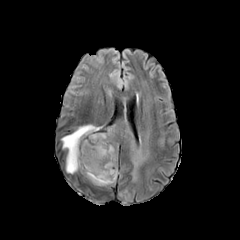
FLAIR magnetic resonance.
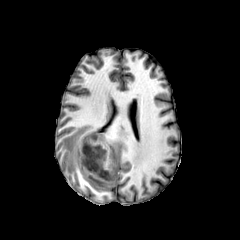
Same slice, T1-weighted MR.
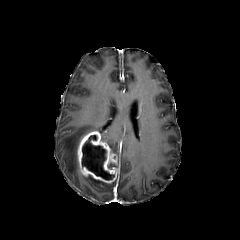
Post-contrast T1-weighted MR of the same slice.
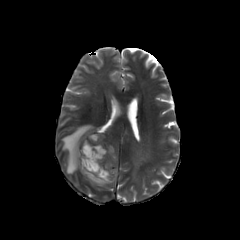
T2-weighted MR of the same slice.
Axial slice; Head
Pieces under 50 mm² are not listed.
The enhancing tumor is located at (77, 131, 119, 183). The 3 largest peritumoral edema regions are bounded by (87, 175, 114, 185), (61, 124, 101, 173), (99, 127, 143, 181). The largest necrotic tumor core region lies within (82, 135, 114, 179).